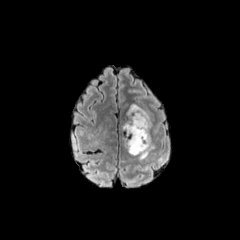
FLAIR MR.
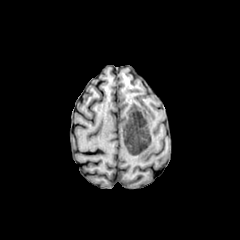
T1-weighted MR.
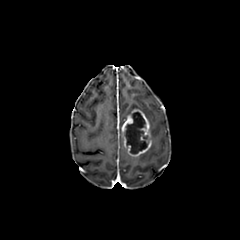
Same slice, post-contrast T1-weighted MR image.
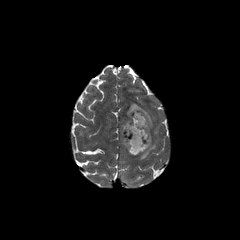
T2-weighted MR.
Axial plane | Head | 240x240 px
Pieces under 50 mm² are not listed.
The necrotic tumor core is bounded by (125,112,147,153). The largest enhancing tumor region appears at (121,109,151,156). 2 peritumoral edema regions appear at (126,103,152,129), (138,142,154,160).